Slice index 78 | Head
FLAIR MR image.
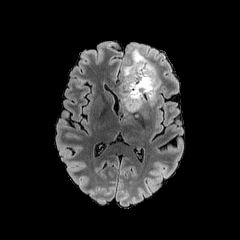
T1-weighted magnetic resonance.
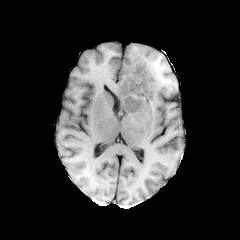
Post-contrast T1-weighted MR.
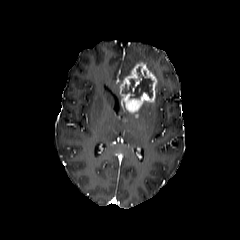
T2-weighted magnetic resonance.
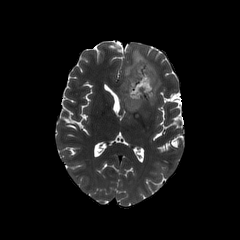
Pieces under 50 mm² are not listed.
enhancing_tumor:
  - bbox(120, 61, 157, 113)
necrotic_tumor_core:
  - bbox(122, 67, 152, 97)
peritumoral_edema:
  - bbox(121, 45, 161, 105)